Slice 137/155. Image width 240 mm, 1.00 mm slice spacing. Brain.
FLAIR magnetic resonance.
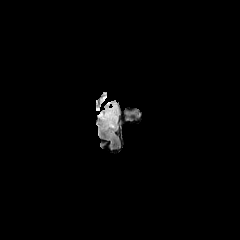
T1-weighted MR.
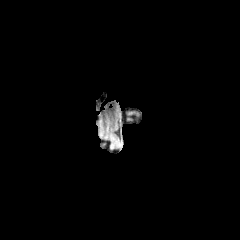
Post-contrast T1-weighted MR.
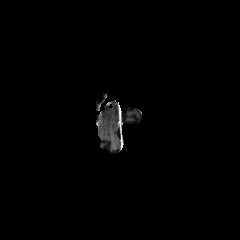
T2-weighted magnetic resonance.
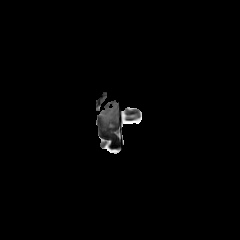
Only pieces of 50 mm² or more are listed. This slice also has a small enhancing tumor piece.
Annotated regions:
• peritumoral edema: x1=98, y1=102, x2=118, y2=129